Axial slice
FLAIR magnetic resonance.
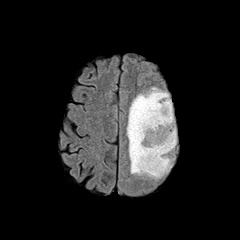
T1-weighted MR.
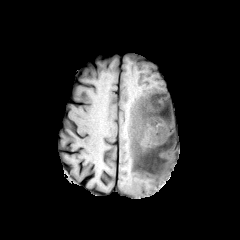
Post-contrast T1-weighted MRI.
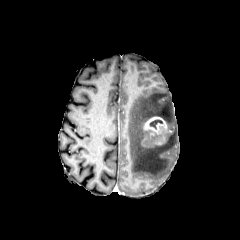
T2-weighted MRI.
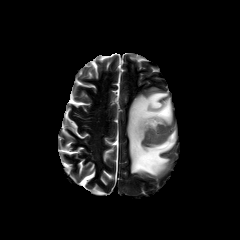
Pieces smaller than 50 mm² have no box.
enhancing tumor: [143, 116, 166, 134] | peritumoral edema: [127, 87, 176, 178] | necrotic tumor core: [150, 120, 162, 129]